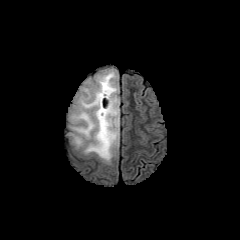
FLAIR MR image.
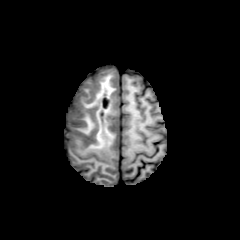
T1-weighted MR image.
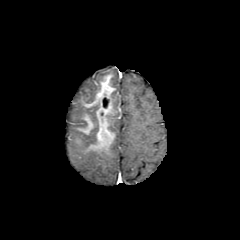
Same slice, post-contrast T1-weighted MRI.
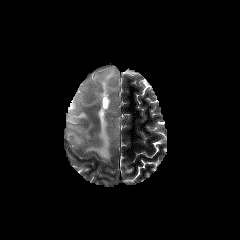
Same slice, T2-weighted MR.
Head
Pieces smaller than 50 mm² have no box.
<segmentation>
  <necrotic_tumor_core>bbox(102, 97, 110, 108)</necrotic_tumor_core>
  <peritumoral_edema>bbox(67, 68, 119, 163)</peritumoral_edema>
  <enhancing_tumor>bbox(96, 94, 112, 119)</enhancing_tumor>
</segmentation>